Head | Slice 32 of 155
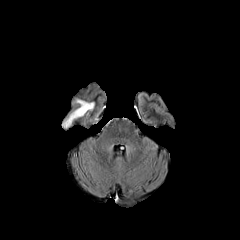
FLAIR MRI.
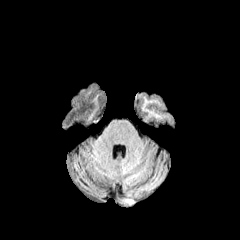
T1-weighted MR.
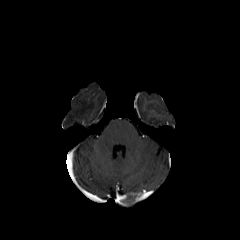
Post-contrast T1-weighted MR image.
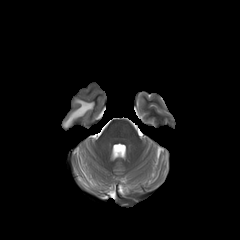
T2-weighted MR image.
peritumoral edema: [x1=64, y1=99, x2=94, y2=127]